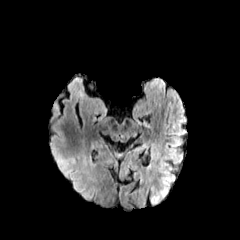
FLAIR MRI.
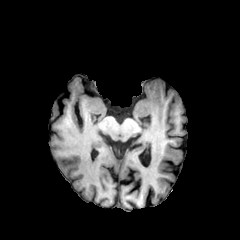
T1-weighted MR of the same slice.
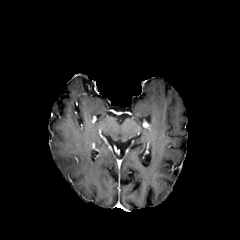
Post-contrast T1-weighted magnetic resonance of the same slice.
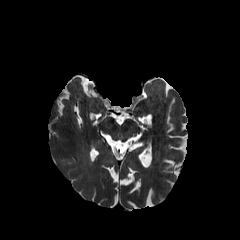
Same slice, T2-weighted MR.
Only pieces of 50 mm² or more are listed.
Findings:
• peritumoral edema: l=50, t=124, r=93, b=199